FLAIR MRI.
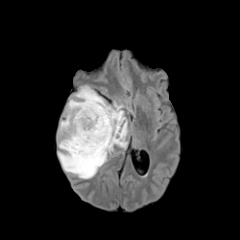
T1-weighted MR.
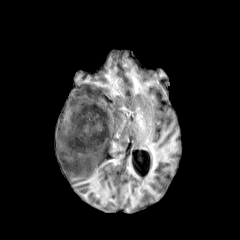
Post-contrast T1-weighted magnetic resonance.
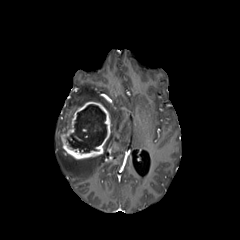
T2-weighted magnetic resonance.
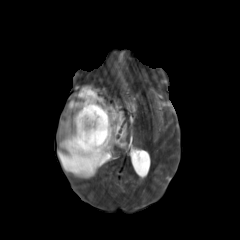
Head
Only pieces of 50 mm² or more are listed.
The largest peritumoral edema region appears at {"x1": 58, "y1": 85, "x2": 127, "y2": 178}. The largest enhancing tumor region is located at {"x1": 57, "y1": 101, "x2": 111, "y2": 159}. The largest necrotic tumor core region is bounded by {"x1": 67, "y1": 104, "x2": 106, "y2": 152}.